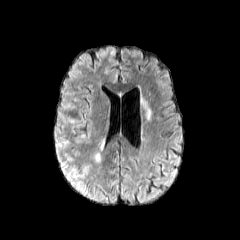
FLAIR MR image.
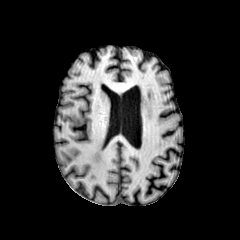
T1-weighted MRI.
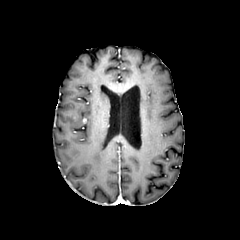
Same slice, post-contrast T1-weighted MRI.
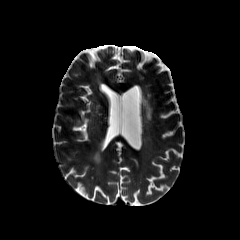
Same slice, T2-weighted magnetic resonance.
Head, Axial view, 240x240 px
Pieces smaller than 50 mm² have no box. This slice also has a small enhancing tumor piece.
<segmentation>
  <peritumoral_edema>{"x1": 94, "y1": 153, "x2": 100, "y2": 162}</peritumoral_edema>
</segmentation>